Image size 240x240 | Image width 240 mm, 1.00 mm slice spacing
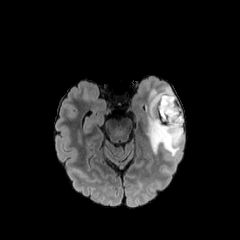
FLAIR magnetic resonance.
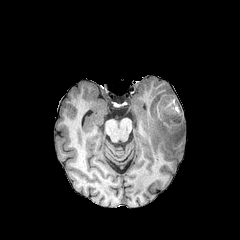
Same slice, T1-weighted MR.
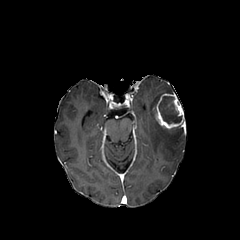
Post-contrast T1-weighted magnetic resonance.
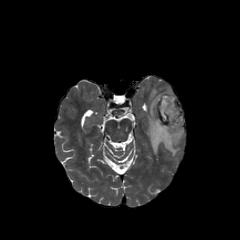
Same slice, T2-weighted MRI.
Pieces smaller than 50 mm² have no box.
The necrotic tumor core is at [x1=158, y1=96, x2=181, y2=124]. The largest enhancing tumor region is bounded by [x1=152, y1=93, x2=184, y2=129]. The peritumoral edema appears at [x1=146, y1=87, x2=184, y2=157].